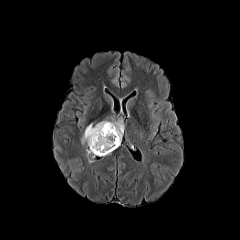
FLAIR magnetic resonance.
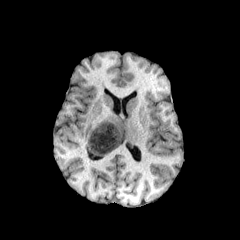
T1-weighted magnetic resonance.
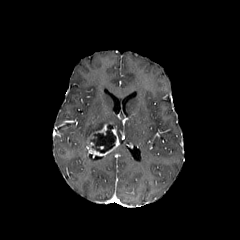
Post-contrast T1-weighted MRI.
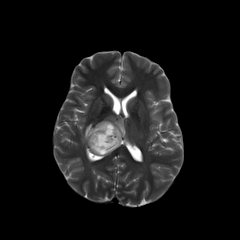
T2-weighted MRI of the same slice.
240x240; Head
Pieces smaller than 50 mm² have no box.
necrotic tumor core = [90, 125, 116, 153]
enhancing tumor = [87, 123, 119, 155]
peritumoral edema = [81, 118, 123, 144]